Slice index 81.
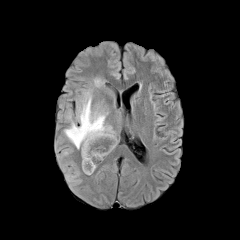
FLAIR MR image.
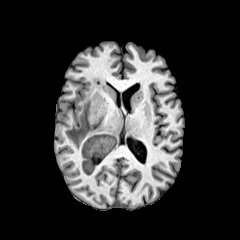
T1-weighted MR.
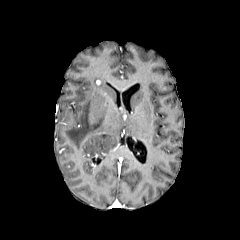
Same slice, post-contrast T1-weighted MRI.
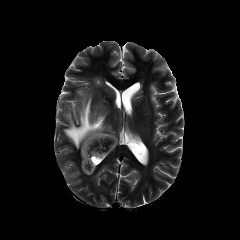
Same slice, T2-weighted MR image.
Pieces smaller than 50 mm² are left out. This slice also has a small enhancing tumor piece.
{"peritumoral_edema": ["(64,91,117,174)"]}